FLAIR magnetic resonance.
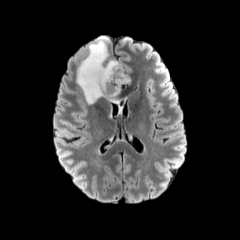
T1-weighted MRI.
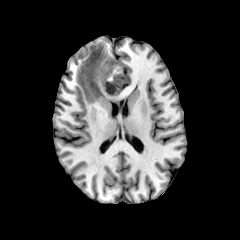
Post-contrast T1-weighted MR.
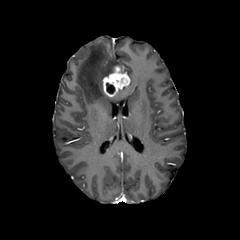
T2-weighted MRI.
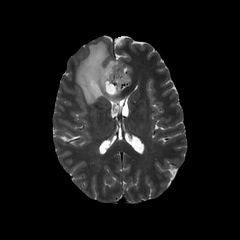
Axial view.
Findings:
• enhancing tumor: bbox=[103, 66, 130, 97]
• peritumoral edema: bbox=[76, 37, 120, 104]
• necrotic tumor core: bbox=[106, 83, 115, 93]